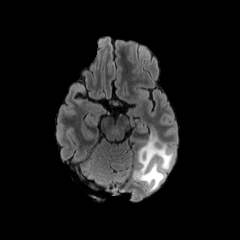
FLAIR MR.
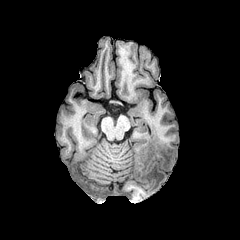
Same slice, T1-weighted MRI.
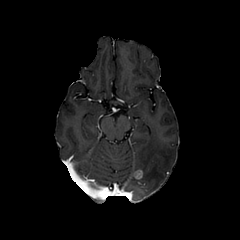
Post-contrast T1-weighted magnetic resonance.
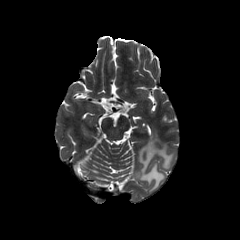
T2-weighted MRI.
Head
enhancing tumor: l=134, t=170, r=142, b=178 | peritumoral edema: l=136, t=135, r=174, b=192